FLAIR magnetic resonance.
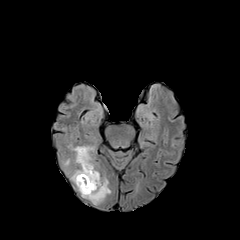
T1-weighted MR image.
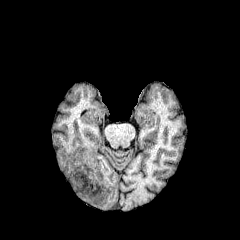
Post-contrast T1-weighted MR image.
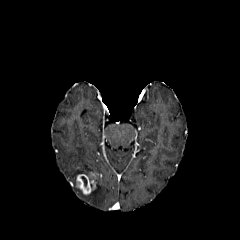
T2-weighted magnetic resonance.
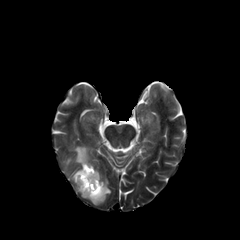
240x240
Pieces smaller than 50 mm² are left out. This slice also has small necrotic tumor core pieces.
enhancing tumor: l=76, t=171, r=97, b=194 | peritumoral edema: l=69, t=145, r=110, b=204